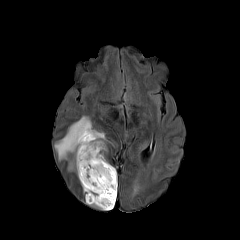
FLAIR magnetic resonance.
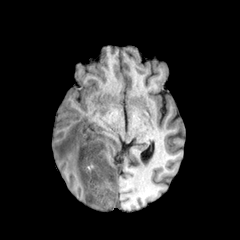
T1-weighted magnetic resonance.
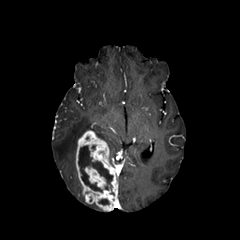
Post-contrast T1-weighted MR image of the same slice.
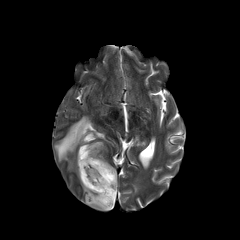
Same slice, T2-weighted magnetic resonance.
Image size 240x240. Head.
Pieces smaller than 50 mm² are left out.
peritumoral_edema:
  - {"x1": 54, "y1": 116, "x2": 107, "y2": 171}
necrotic_tumor_core:
  - {"x1": 78, "y1": 146, "x2": 112, "y2": 192}
  - {"x1": 98, "y1": 199, "x2": 109, "y2": 204}
enhancing_tumor:
  - {"x1": 75, "y1": 130, "x2": 117, "y2": 211}